FLAIR MR.
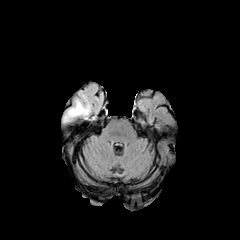
T1-weighted MRI.
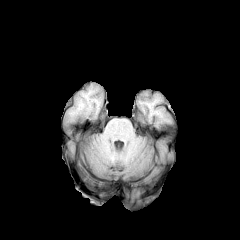
Post-contrast T1-weighted MR.
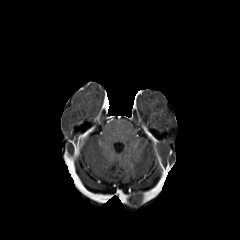
T2-weighted MR.
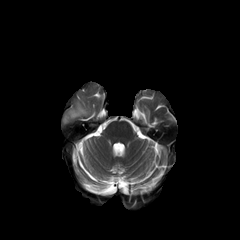
240x240 px | Axial slice
peritumoral edema: (left=61, top=82, right=103, bottom=124)